FLAIR MR image.
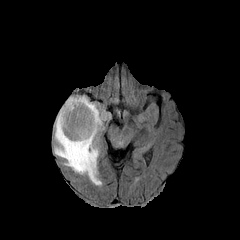
T1-weighted magnetic resonance.
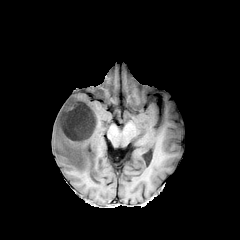
Post-contrast T1-weighted MRI.
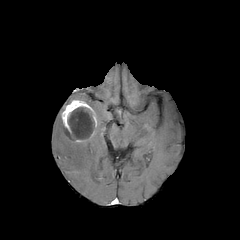
T2-weighted MR.
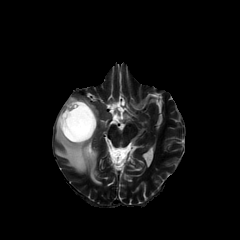
240x240
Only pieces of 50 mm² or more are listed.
The largest necrotic tumor core region appears at left=68, top=107, right=94, bottom=139. The peritumoral edema is bounded by left=54, top=96, right=106, bottom=184. The largest enhancing tumor region appears at left=60, top=99, right=97, bottom=142.